240x240
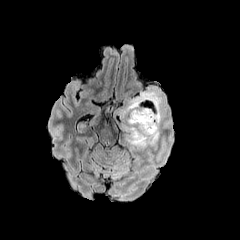
FLAIR MRI.
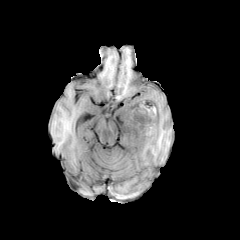
T1-weighted MR of the same slice.
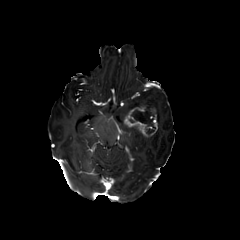
Same slice, post-contrast T1-weighted MRI.
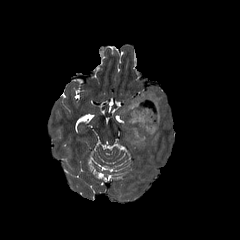
T2-weighted MRI.
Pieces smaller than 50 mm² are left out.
peritumoral_edema:
  - l=123, t=124, r=159, b=148
  - l=119, t=91, r=161, b=126
necrotic_tumor_core:
  - l=132, t=107, r=155, b=132
enhancing_tumor:
  - l=123, t=106, r=157, b=138